FLAIR MR.
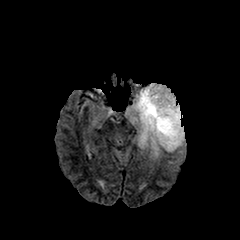
T1-weighted MRI.
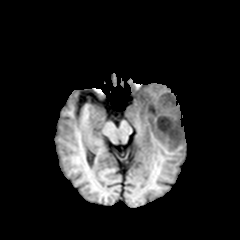
Post-contrast T1-weighted MR.
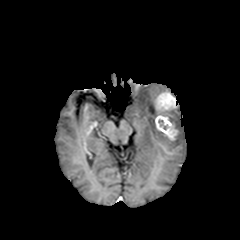
T2-weighted MRI.
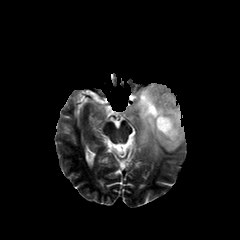
Axial slice
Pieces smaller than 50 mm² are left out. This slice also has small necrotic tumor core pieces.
peritumoral edema: bounding box (x1=126, y1=83, x2=185, y2=158)
enhancing tumor: bounding box (x1=154, y1=92, x2=178, y2=140)